Image covers 240 mm x 240 mm. Axial slice. Slice 91 of 155. Head.
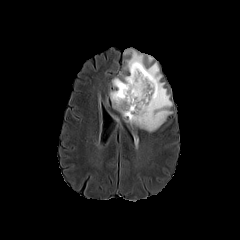
FLAIR MR image.
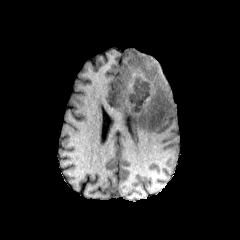
Same slice, T1-weighted magnetic resonance.
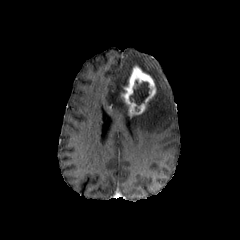
Post-contrast T1-weighted MR.
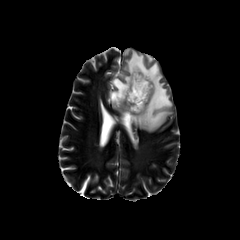
Same slice, T2-weighted MR image.
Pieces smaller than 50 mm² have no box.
The 2 largest peritumoral edema regions appear at box=[109, 72, 129, 120]; box=[123, 49, 172, 132]. The necrotic tumor core is located at box=[130, 81, 149, 105]. The enhancing tumor is at box=[121, 65, 156, 116].